Brain
FLAIR MR.
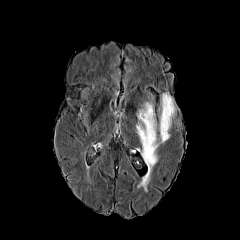
T1-weighted MR image.
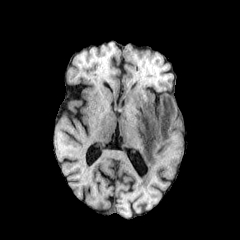
Post-contrast T1-weighted MRI.
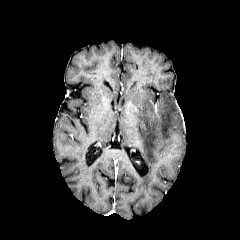
T2-weighted magnetic resonance.
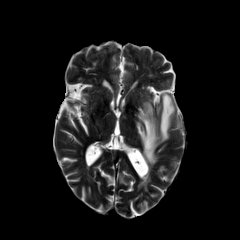
The peritumoral edema lies within (x1=136, y1=93, x2=175, y2=171).